Image size 240x240, Image width 240 mm, 1.00 mm slice spacing, Slice 109 of 155, Head
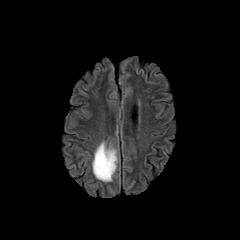
FLAIR MRI.
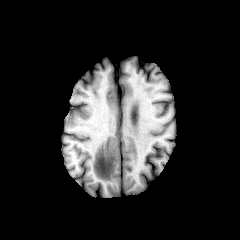
T1-weighted MR.
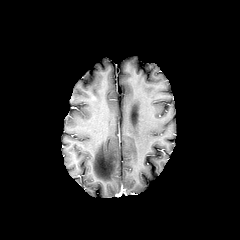
Post-contrast T1-weighted MRI.
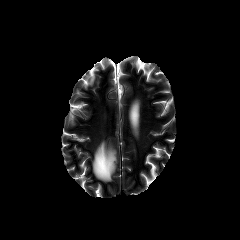
Same slice, T2-weighted MR.
The peritumoral edema lies within {"x1": 92, "y1": 141, "x2": 117, "y2": 181}.